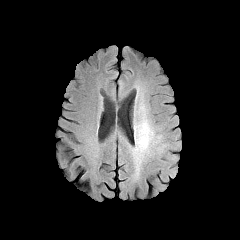
FLAIR MR image.
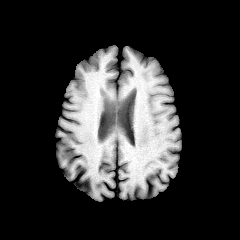
T1-weighted MRI.
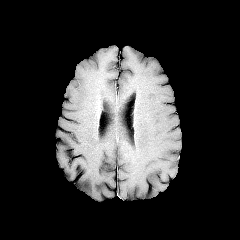
Post-contrast T1-weighted magnetic resonance.
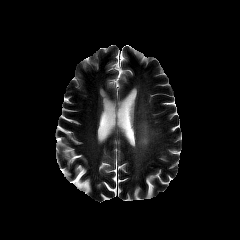
T2-weighted MRI of the same slice.
peritumoral edema: x1=135, y1=117, x2=153, y2=154